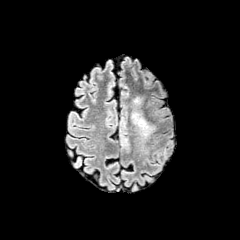
FLAIR MR image.
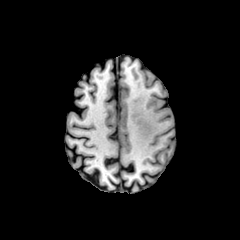
T1-weighted magnetic resonance.
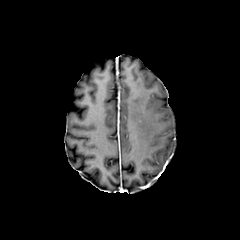
Post-contrast T1-weighted magnetic resonance.
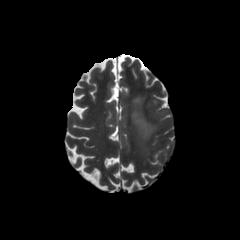
T2-weighted MRI of the same slice.
Image size 240x240; Axial plane
The peritumoral edema appears at x1=131, y1=96, x2=154, y2=137.